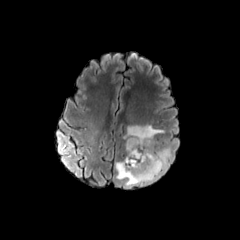
FLAIR magnetic resonance.
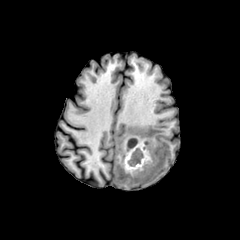
T1-weighted MR image of the same slice.
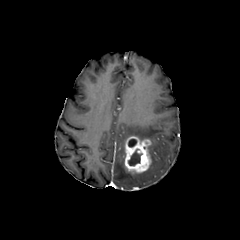
Post-contrast T1-weighted magnetic resonance of the same slice.
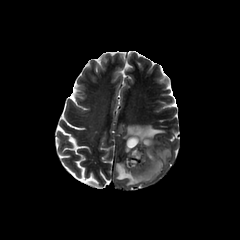
T2-weighted MR image.
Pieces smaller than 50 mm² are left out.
peritumoral edema at [115, 124, 171, 187]
enhancing tumor at [124, 136, 151, 173]
necrotic tumor core at [128, 139, 136, 147], [128, 149, 141, 165]